240x240 px | Head
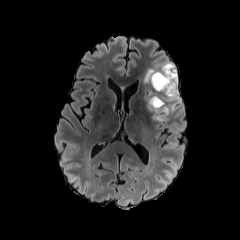
FLAIR magnetic resonance.
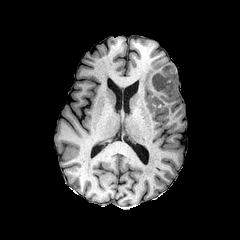
T1-weighted magnetic resonance.
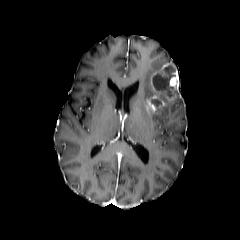
Post-contrast T1-weighted MR image.
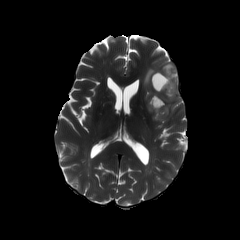
T2-weighted MRI of the same slice.
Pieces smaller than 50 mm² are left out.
{
  "peritumoral_edema": [
    "region(143, 67, 181, 120)"
  ],
  "enhancing_tumor": [
    "region(146, 95, 165, 114)",
    "region(151, 63, 179, 101)"
  ],
  "necrotic_tumor_core": [
    "region(151, 99, 161, 106)",
    "region(153, 65, 175, 97)"
  ]
}